FLAIR MR.
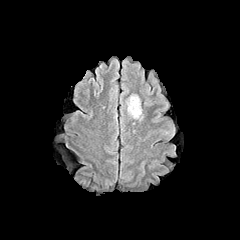
T1-weighted MR image.
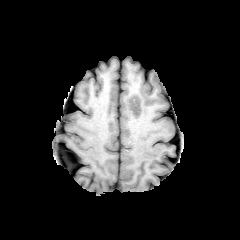
Post-contrast T1-weighted MRI.
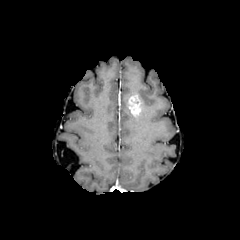
T2-weighted MRI.
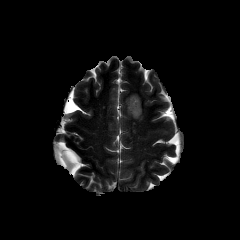
Brain
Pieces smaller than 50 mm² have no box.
The largest peritumoral edema region is located at (126,98,143,120). The enhancing tumor is located at (128,95,141,116).